FLAIR MR.
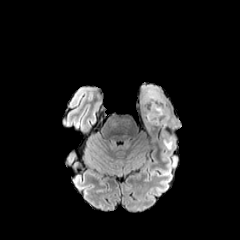
T1-weighted magnetic resonance.
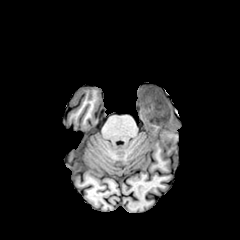
Post-contrast T1-weighted MRI.
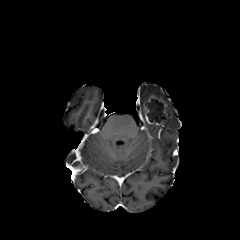
T2-weighted MRI.
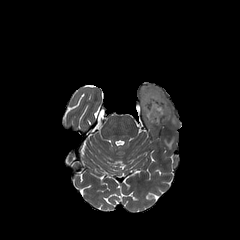
240x240 px. Axial view.
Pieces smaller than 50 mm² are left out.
Findings:
* necrotic tumor core: 145,98,165,122
* enhancing tumor: 142,94,169,125
* peritumoral edema: 140,85,167,111; 164,137,174,149; 168,106,177,128